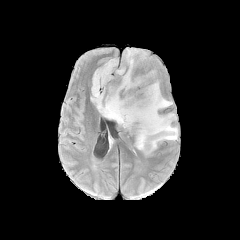
FLAIR MR image.
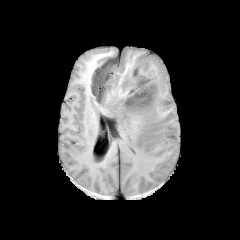
T1-weighted MR of the same slice.
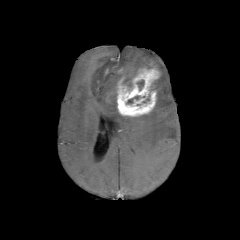
Post-contrast T1-weighted MRI of the same slice.
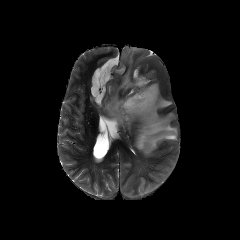
T2-weighted magnetic resonance of the same slice.
Axial plane
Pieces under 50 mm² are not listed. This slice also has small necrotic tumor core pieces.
Findings:
* peritumoral edema: {"x1": 91, "y1": 48, "x2": 178, "y2": 155}
* enhancing tumor: {"x1": 117, "y1": 68, "x2": 159, "y2": 116}